FLAIR MR image.
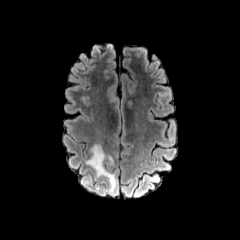
T1-weighted MR image.
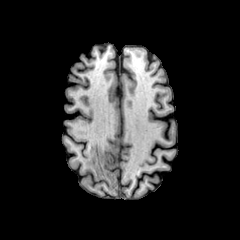
Post-contrast T1-weighted magnetic resonance.
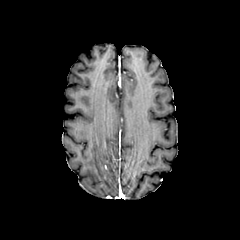
T2-weighted MR.
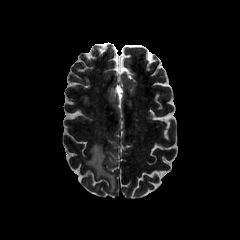
Axial slice
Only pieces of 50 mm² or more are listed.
peritumoral edema: <box>85,143,117,191</box>